Head; Axial plane; Slice 64/155; Image width 240 mm, 1.00 mm slice spacing
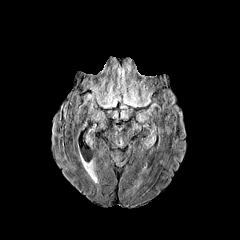
FLAIR magnetic resonance.
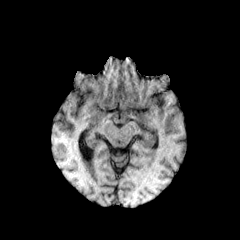
T1-weighted magnetic resonance of the same slice.
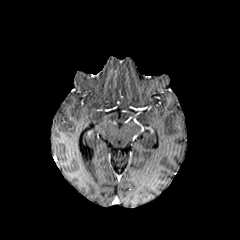
Post-contrast T1-weighted MR.
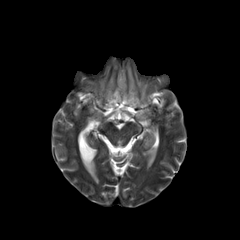
T2-weighted MR.
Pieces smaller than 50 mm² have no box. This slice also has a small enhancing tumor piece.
* peritumoral edema: x1=90 y1=65 x2=152 y2=108